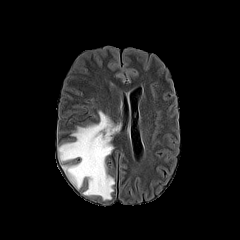
FLAIR magnetic resonance.
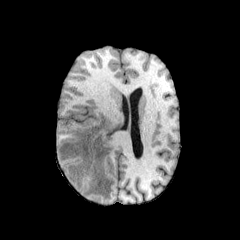
T1-weighted MR image.
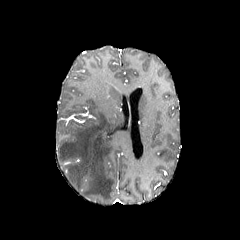
Post-contrast T1-weighted MR image of the same slice.
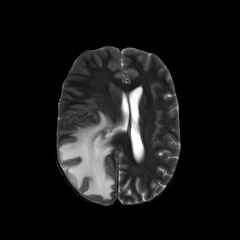
Same slice, T2-weighted MRI.
Head, Image size 240x240
Findings:
- peritumoral edema: box(58, 111, 121, 200)